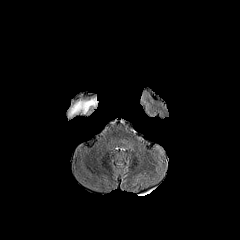
FLAIR MR.
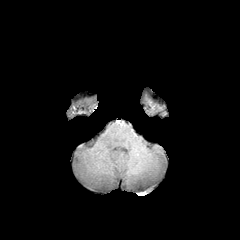
T1-weighted MR of the same slice.
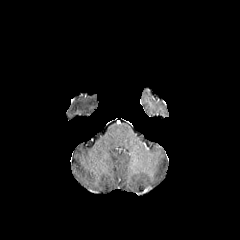
Same slice, post-contrast T1-weighted MRI.
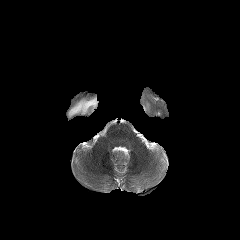
T2-weighted MRI.
peritumoral edema — region(69, 97, 97, 116)